240x240 px, Head, Axial view
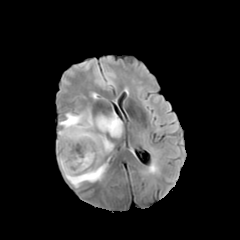
FLAIR MRI.
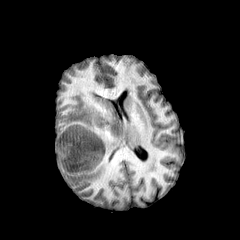
T1-weighted MR.
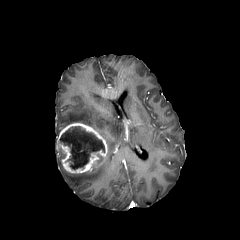
Post-contrast T1-weighted MR of the same slice.
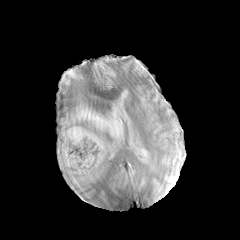
Same slice, T2-weighted MR image.
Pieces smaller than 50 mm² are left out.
necrotic tumor core = (left=60, top=127, right=104, bottom=169)
peritumoral edema = (left=59, top=107, right=123, bottom=152), (left=58, top=155, right=107, bottom=187)
enhancing tumor = (left=56, top=123, right=107, bottom=173)